FLAIR MR.
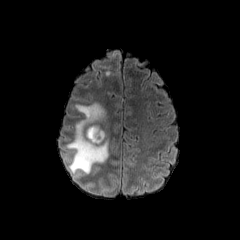
T1-weighted MR image.
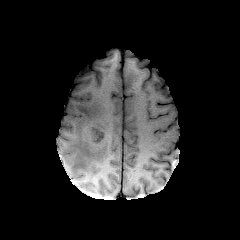
Post-contrast T1-weighted MR image.
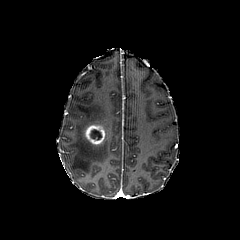
T2-weighted MRI.
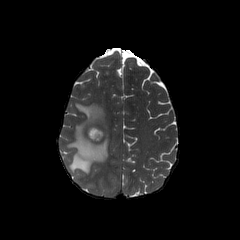
Axial plane
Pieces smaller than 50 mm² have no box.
Findings:
* enhancing tumor: bbox=[85, 124, 105, 144]
* peritumoral edema: bbox=[66, 102, 109, 174]
* necrotic tumor core: bbox=[90, 129, 101, 140]